Slice 74/155; Brain; Axial slice
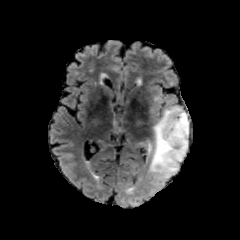
FLAIR MR image.
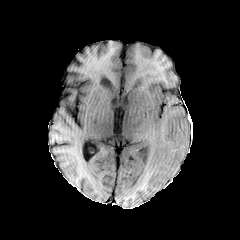
T1-weighted MRI of the same slice.
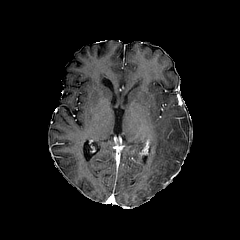
Post-contrast T1-weighted magnetic resonance of the same slice.
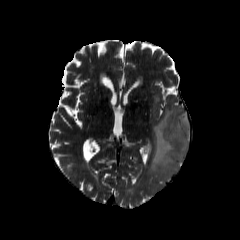
Same slice, T2-weighted magnetic resonance.
peritumoral edema — region(146, 106, 188, 180)